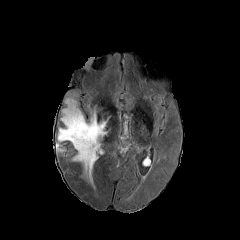
FLAIR MR.
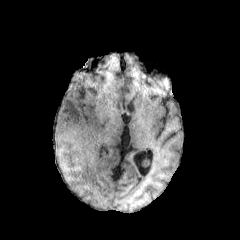
Same slice, T1-weighted MR image.
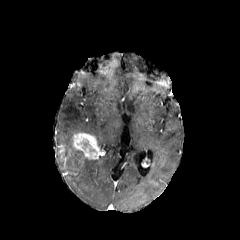
Same slice, post-contrast T1-weighted MRI.
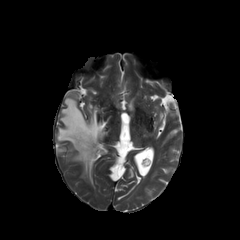
Same slice, T2-weighted MR.
240x240 | Brain | Axial view
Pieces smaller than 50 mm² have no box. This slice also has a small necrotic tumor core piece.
<segmentation>
  <enhancing_tumor>[x1=72, y1=133, x2=100, y2=159]</enhancing_tumor>
  <peritumoral_edema>[x1=72, y1=150, x2=95, y2=183], [x1=57, y1=97, x2=106, y2=148]</peritumoral_edema>
</segmentation>